FLAIR magnetic resonance.
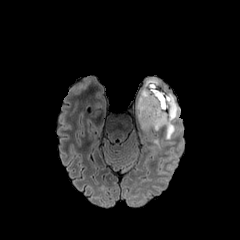
T1-weighted MR image.
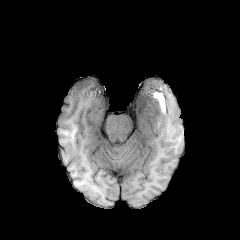
Post-contrast T1-weighted magnetic resonance.
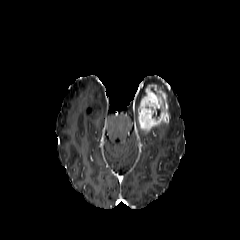
T2-weighted MR.
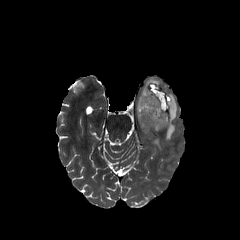
Head
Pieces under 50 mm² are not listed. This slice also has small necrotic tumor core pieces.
enhancing tumor = x1=137 y1=83 x2=169 y2=132
peritumoral edema = x1=153 y1=137 x2=160 y2=148, x1=145 y1=79 x2=159 y2=86, x1=151 y1=93 x2=178 y2=139, x1=136 y1=87 x2=144 y2=110